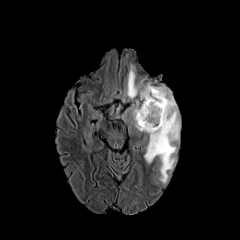
FLAIR MRI.
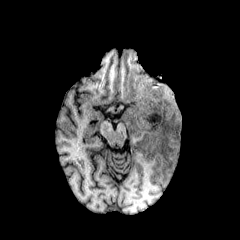
T1-weighted MR image.
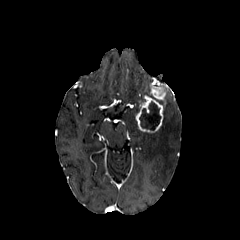
Post-contrast T1-weighted MR of the same slice.
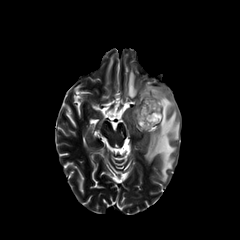
T2-weighted MR image.
Axial plane
enhancing tumor: x1=135, y1=95, x2=164, y2=132; x1=149, y1=81, x2=166, y2=101 | peritumoral edema: x1=132, y1=101, x2=139, y2=128; x1=144, y1=88, x2=180, y2=182; x1=126, y1=65, x2=142, y2=98; x1=140, y1=82, x2=150, y2=99 | necrotic tumor core: x1=139, y1=102, x2=160, y2=130